FLAIR MRI.
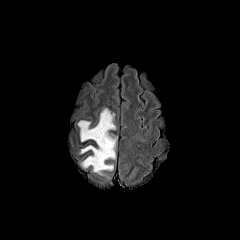
T1-weighted MRI.
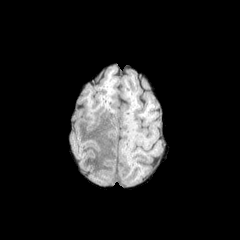
Post-contrast T1-weighted magnetic resonance.
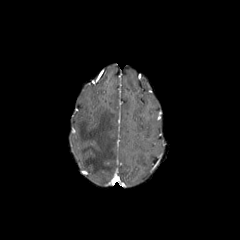
T2-weighted MR image.
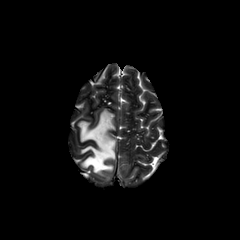
240x240 | Head | Axial plane
{
  "peritumoral_edema": [
    "[78, 108, 116, 175]"
  ]
}